240x240 px
FLAIR MR.
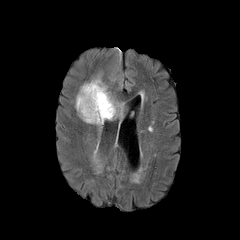
T1-weighted MRI.
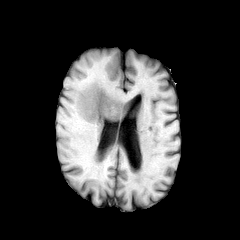
Post-contrast T1-weighted MR.
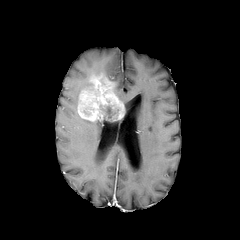
T2-weighted MR.
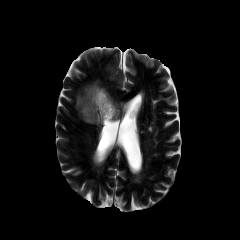
enhancing_tumor:
  - 77 77 124 122
necrotic_tumor_core:
  - 103 106 116 118
peritumoral_edema:
  - 75 82 91 111
  - 83 119 103 123